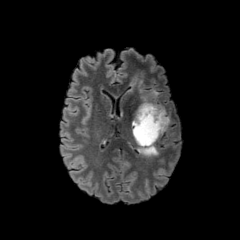
FLAIR magnetic resonance.
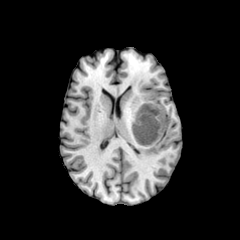
T1-weighted MR image.
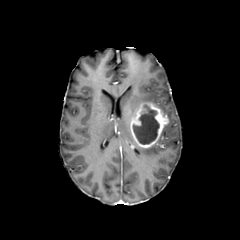
Post-contrast T1-weighted MRI.
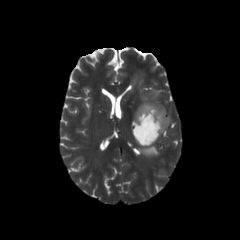
T2-weighted MR.
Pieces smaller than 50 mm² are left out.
peritumoral edema: [129, 71, 166, 114], [138, 144, 158, 156] | enhancing tumor: [131, 103, 168, 148] | necrotic tumor core: [133, 106, 159, 144]